FLAIR MRI.
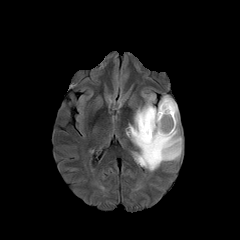
T1-weighted MR.
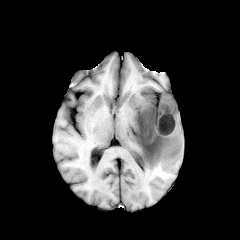
Post-contrast T1-weighted magnetic resonance.
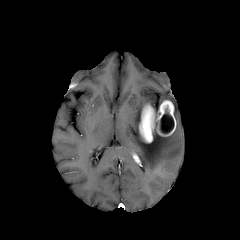
T2-weighted magnetic resonance.
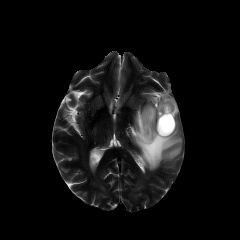
Axial view.
necrotic tumor core: bounding box box=[160, 110, 174, 133]
peritumoral edema: bounding box box=[126, 95, 182, 171]; box=[146, 94, 158, 110]
enhancing tumor: bounding box box=[139, 100, 176, 143]